Axial view.
FLAIR magnetic resonance.
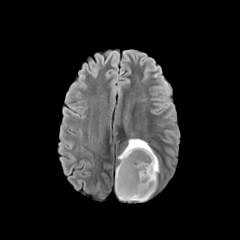
T1-weighted MRI.
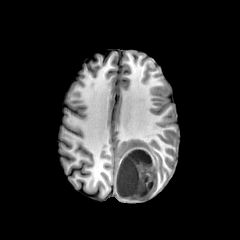
Post-contrast T1-weighted MR.
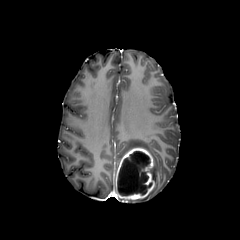
T2-weighted MR image.
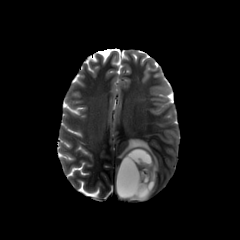
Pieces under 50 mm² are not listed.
necrotic tumor core: bounding box region(117, 151, 152, 195)
enhancing tumor: bounding box region(116, 147, 154, 200)
peritumoral edema: bounding box region(118, 139, 159, 200)